Brain
FLAIR magnetic resonance.
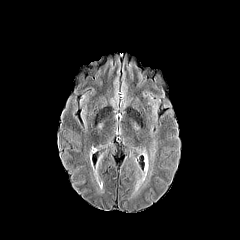
T1-weighted MR image.
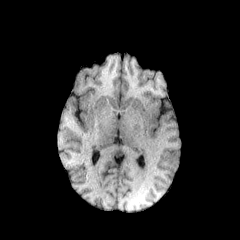
Post-contrast T1-weighted magnetic resonance.
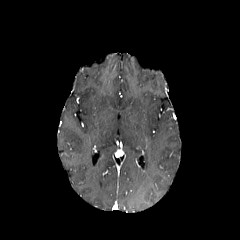
T2-weighted magnetic resonance.
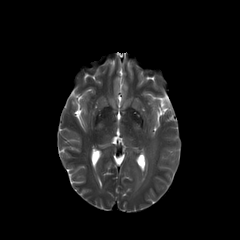
The peritumoral edema is at <box>133,124,156,194</box>.